FLAIR MRI.
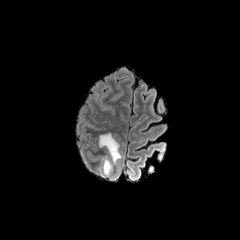
T1-weighted MR image.
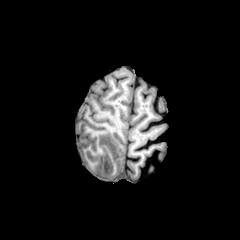
Post-contrast T1-weighted MRI.
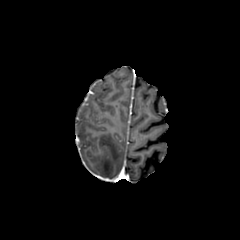
T2-weighted magnetic resonance.
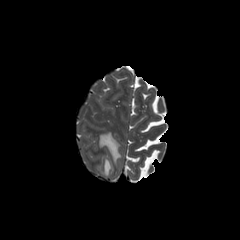
240x240.
The peritumoral edema is at x1=98, y1=133, x2=121, y2=177.